Head; Slice 93 of 155
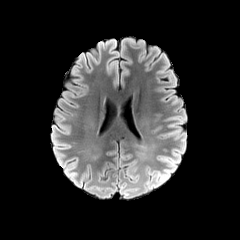
FLAIR MRI.
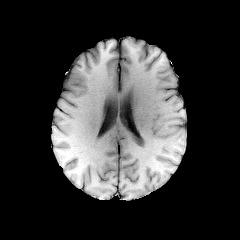
T1-weighted MR.
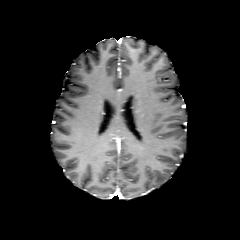
Post-contrast T1-weighted magnetic resonance of the same slice.
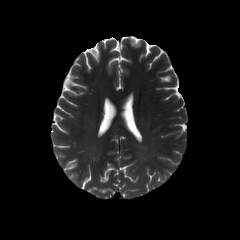
T2-weighted MR image.
Segmented structures:
• peritumoral edema: box=[157, 151, 181, 185]